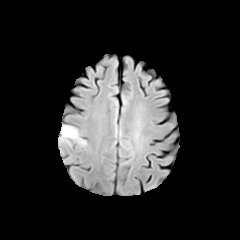
FLAIR MR.
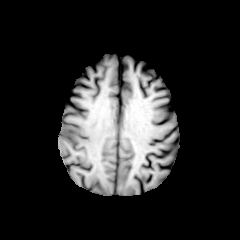
Same slice, T1-weighted MR.
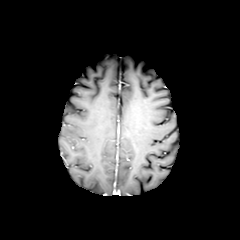
Post-contrast T1-weighted MRI.
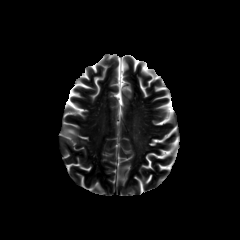
T2-weighted MR.
Head, Axial plane
The peritumoral edema lies within x1=60 y1=125 x2=86 y2=146.